FLAIR MRI.
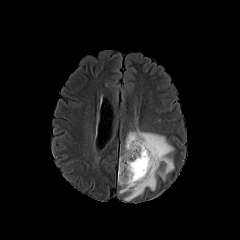
T1-weighted MR image.
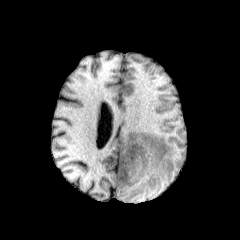
Post-contrast T1-weighted MRI.
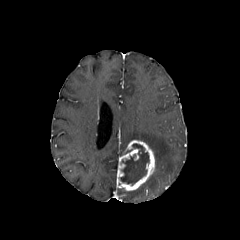
T2-weighted MR image.
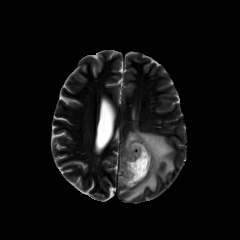
Axial view | 240x240 | Brain
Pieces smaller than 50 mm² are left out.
peritumoral edema: x1=119, y1=128, x2=174, y2=201 | enhancing tumor: x1=117, y1=140, x2=155, y2=191 | necrotic tumor core: x1=120, y1=144, x2=149, y2=184